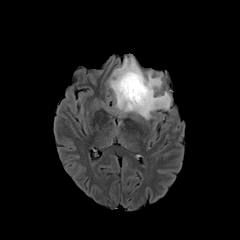
FLAIR MR image.
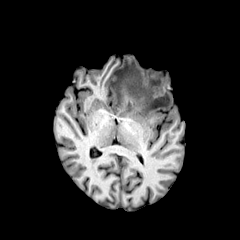
Same slice, T1-weighted MR image.
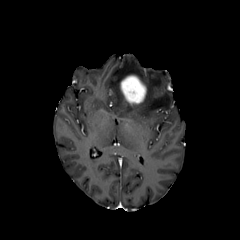
Same slice, post-contrast T1-weighted magnetic resonance.
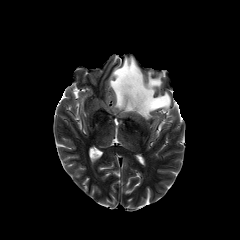
T2-weighted MR image.
Head; Axial view
enhancing_tumor:
  - left=120, top=74, right=146, bottom=105
peritumoral_edema:
  - left=109, top=57, right=171, bottom=119